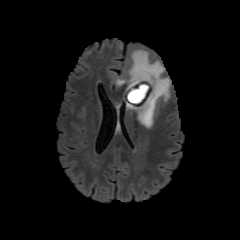
FLAIR MR image.
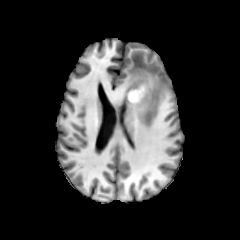
T1-weighted magnetic resonance.
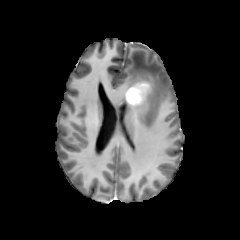
Post-contrast T1-weighted MR.
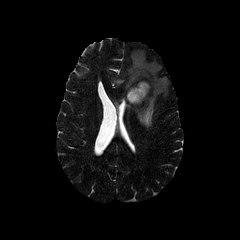
T2-weighted magnetic resonance of the same slice.
Brain | 240x240 px
Annotated regions:
* peritumoral edema: x1=126 y1=50 x2=169 y2=128, x1=116 y1=79 x2=125 y2=85
* enhancing tumor: x1=126 y1=80 x2=151 y2=105
* necrotic tumor core: x1=129 y1=86 x2=144 y2=101